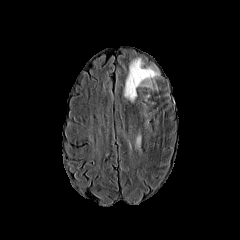
FLAIR magnetic resonance.
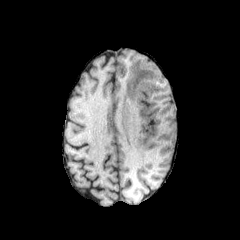
Same slice, T1-weighted MR image.
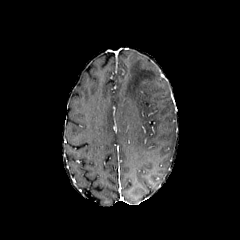
Post-contrast T1-weighted MR of the same slice.
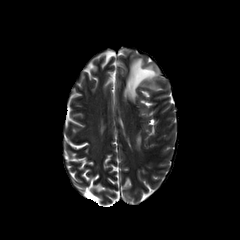
T2-weighted MR.
Axial plane, Brain
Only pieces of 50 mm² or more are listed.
peritumoral edema: 136:135:140:147, 124:58:159:101